Brain. Axial view.
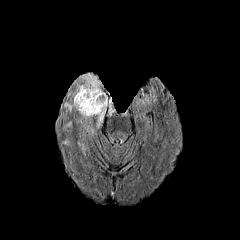
FLAIR magnetic resonance.
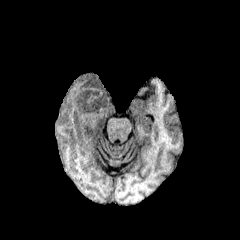
T1-weighted magnetic resonance of the same slice.
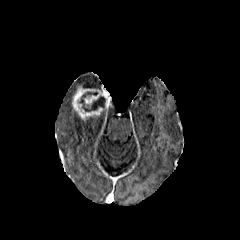
Post-contrast T1-weighted magnetic resonance.
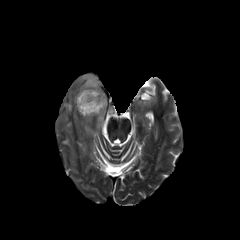
T2-weighted MR image of the same slice.
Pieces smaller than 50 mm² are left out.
Annotated regions:
* peritumoral edema: 64, 102, 73, 111; 95, 110, 106, 127; 77, 73, 101, 89
* enhancing tumor: 72, 86, 111, 120
* necrotic tumor core: 79, 92, 105, 111